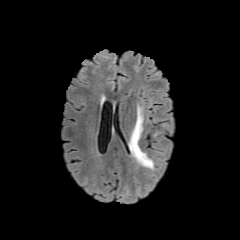
FLAIR MRI.
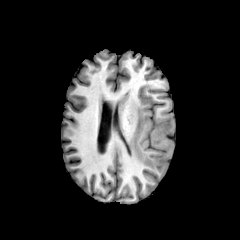
T1-weighted MR image of the same slice.
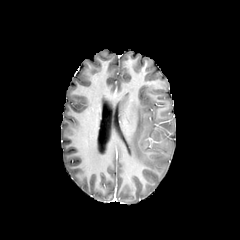
Post-contrast T1-weighted magnetic resonance.
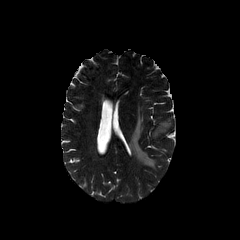
T2-weighted magnetic resonance of the same slice.
240x240.
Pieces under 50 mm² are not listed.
The largest peritumoral edema region is at 129 105 155 169.